Image size 240x240 | Slice index 72
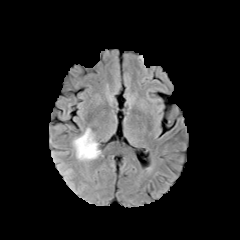
FLAIR MR image.
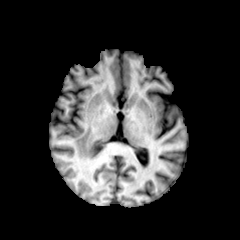
T1-weighted MR image.
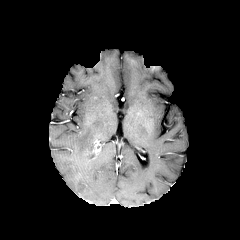
Same slice, post-contrast T1-weighted MRI.
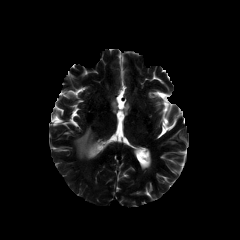
T2-weighted magnetic resonance of the same slice.
enhancing tumor = [87,143,99,154]
peritumoral edema = [73,128,100,159]